FLAIR magnetic resonance.
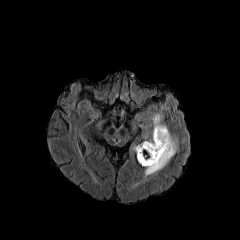
T1-weighted MRI.
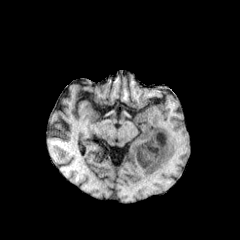
Post-contrast T1-weighted MRI.
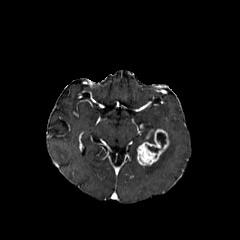
T2-weighted MR.
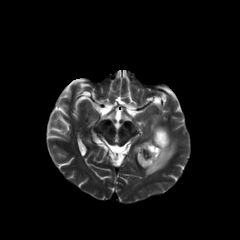
Axial plane; Brain
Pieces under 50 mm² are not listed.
The enhancing tumor is at region(137, 129, 169, 165). The 2 largest necrotic tumor core regions are bounded by region(146, 144, 160, 152); region(157, 132, 166, 147). The largest peritumoral edema region is at region(142, 112, 178, 179).